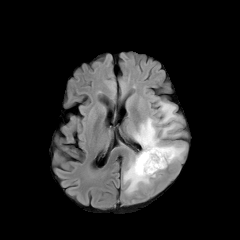
FLAIR magnetic resonance.
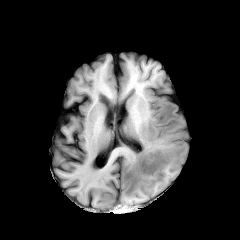
T1-weighted MR.
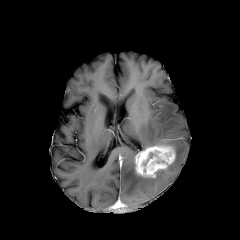
Post-contrast T1-weighted magnetic resonance of the same slice.
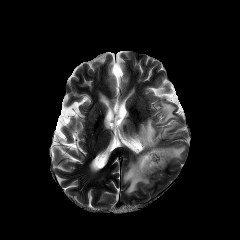
T2-weighted MRI of the same slice.
Brain
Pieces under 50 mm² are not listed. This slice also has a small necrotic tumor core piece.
The 3 largest peritumoral edema regions appear at (left=132, top=102, right=179, bottom=149), (left=164, top=145, right=185, bottom=160), (left=123, top=157, right=150, bottom=194). The enhancing tumor is bounded by (left=135, top=145, right=175, bottom=177).